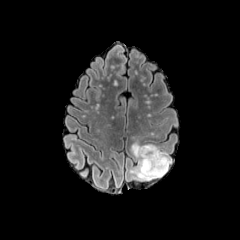
FLAIR MRI.
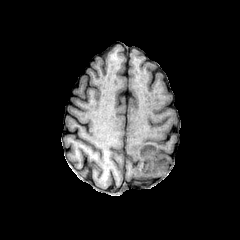
T1-weighted MR of the same slice.
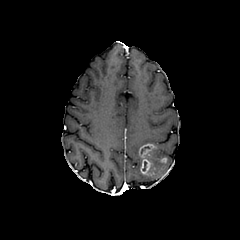
Post-contrast T1-weighted MRI of the same slice.
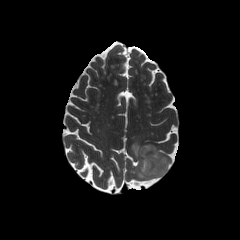
T2-weighted MR of the same slice.
240x240; Axial slice
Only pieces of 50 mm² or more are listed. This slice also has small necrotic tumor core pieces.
enhancing tumor — (139,144,156,175)
peritumoral edema — (130,142,171,180)